Brain. Image size 240x240.
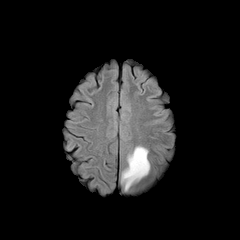
FLAIR MR image.
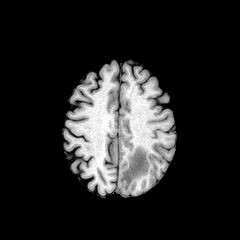
T1-weighted MR image of the same slice.
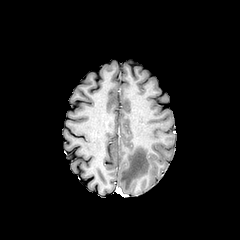
Same slice, post-contrast T1-weighted MR image.
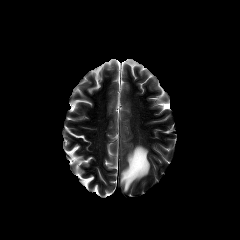
T2-weighted magnetic resonance of the same slice.
peritumoral edema: {"x1": 120, "y1": 145, "x2": 149, "y2": 191}